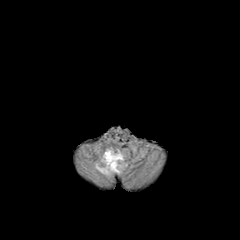
FLAIR MR.
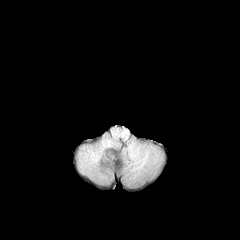
T1-weighted MRI.
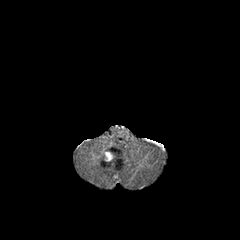
Post-contrast T1-weighted MR of the same slice.
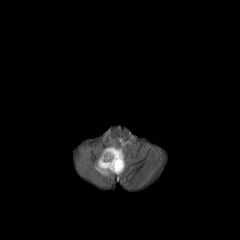
T2-weighted MR.
240x240 px | Axial plane
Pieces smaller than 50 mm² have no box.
{"peritumoral_edema": ["l=94, t=147, r=126, b=176"], "enhancing_tumor": ["l=104, t=150, r=118, b=167"]}